Slice 80/155
FLAIR MR.
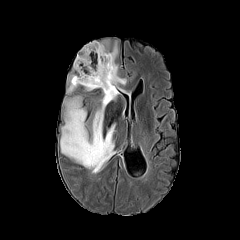
T1-weighted magnetic resonance.
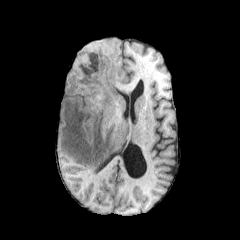
Post-contrast T1-weighted MR image.
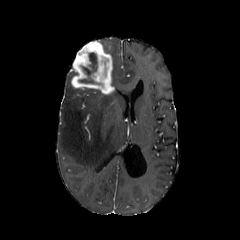
T2-weighted magnetic resonance.
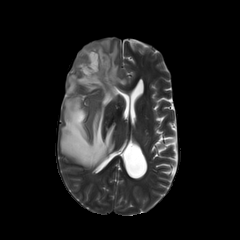
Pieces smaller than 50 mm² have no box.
Findings:
• enhancing tumor: x1=71 y1=41 x2=114 y2=94
• peritumoral edema: x1=60 y1=89 x2=118 y2=169, x1=100 y1=41 x2=126 y2=91, x1=67 y1=73 x2=75 y2=93
• necrotic tumor core: x1=82 y1=53 x2=97 y2=75, x1=79 y1=79 x2=94 y2=83